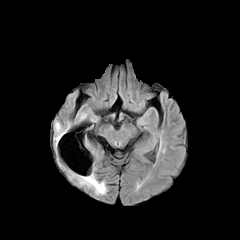
FLAIR MR image.
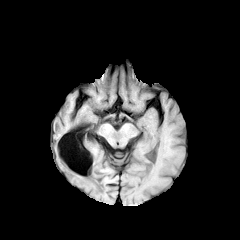
T1-weighted MRI of the same slice.
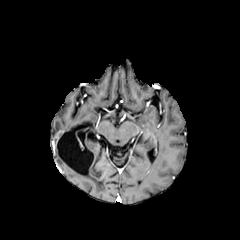
Post-contrast T1-weighted MR.
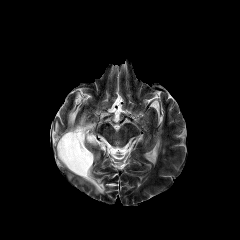
T2-weighted MR image of the same slice.
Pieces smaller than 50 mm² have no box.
{
  "peritumoral_edema": [
    "l=79, t=173, r=105, b=193"
  ]
}